Brain
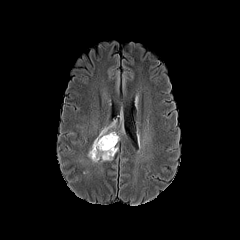
FLAIR magnetic resonance.
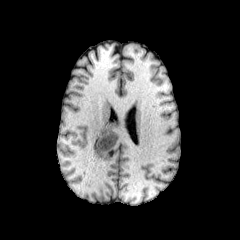
T1-weighted magnetic resonance.
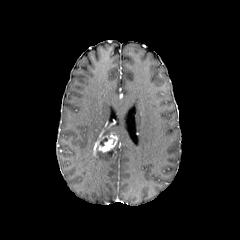
Post-contrast T1-weighted MR image.
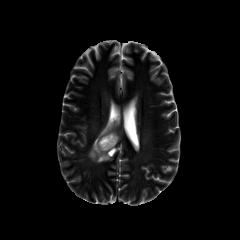
T2-weighted MRI.
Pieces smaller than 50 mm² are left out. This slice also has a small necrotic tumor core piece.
Segmented structures:
- peritumoral edema: [88,139,117,162], [100,128,116,136]
- enhancing tumor: [93,133,117,155]